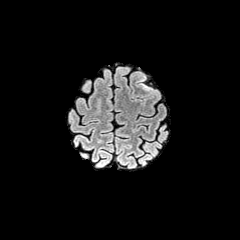
FLAIR MR.
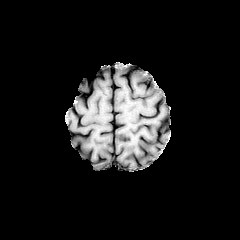
Same slice, T1-weighted MR image.
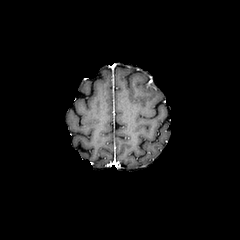
Post-contrast T1-weighted magnetic resonance.
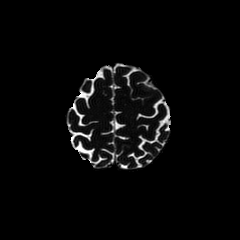
T2-weighted MRI.
Head; Image size 240x240; Axial plane
peritumoral edema: bounding box l=141, t=83, r=151, b=90